FLAIR MR.
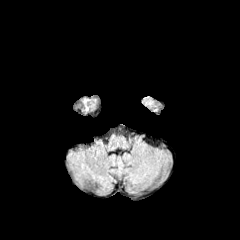
T1-weighted magnetic resonance.
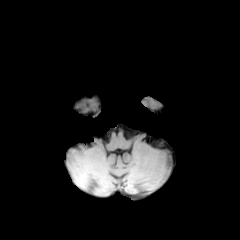
Post-contrast T1-weighted MR image.
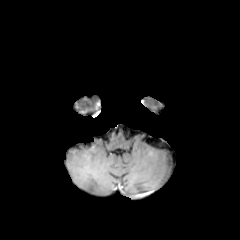
T2-weighted MR image.
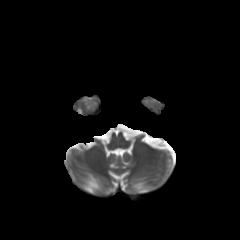
Axial view
{
  "peritumoral_edema": [
    "box=[143, 98, 160, 111]"
  ]
}